240x240, Axial plane
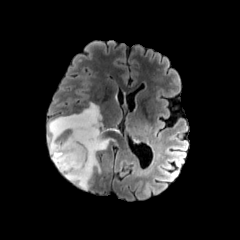
FLAIR MR.
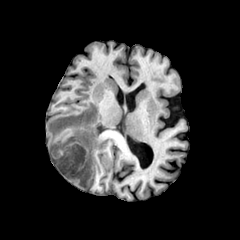
Same slice, T1-weighted MR image.
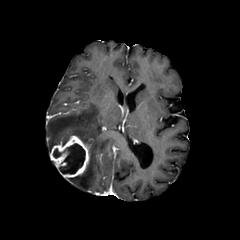
Post-contrast T1-weighted MR image.
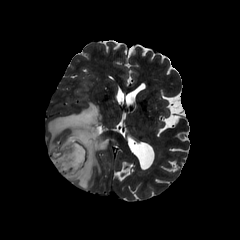
T2-weighted MR image.
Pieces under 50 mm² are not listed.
enhancing tumor at [50,135,90,177]
peritumoral edema at [48,103,109,189]
necrotic tumor core at [53,149,61,157], [59,143,85,174]